Slice index 98, Head, 240x240
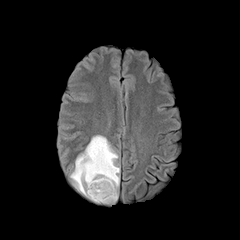
FLAIR MR.
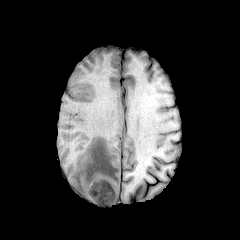
T1-weighted MR of the same slice.
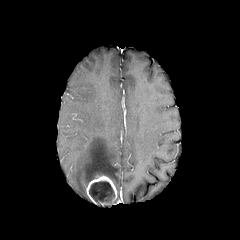
Post-contrast T1-weighted MRI of the same slice.
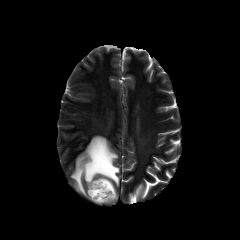
Same slice, T2-weighted MR.
The peritumoral edema is at <box>70,135,119,197</box>. The enhancing tumor is located at <box>86,175,117,205</box>. The necrotic tumor core is located at <box>89,181,114,203</box>.